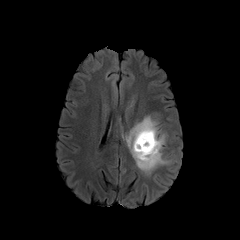
FLAIR magnetic resonance.
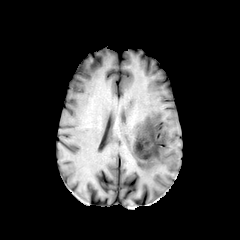
T1-weighted MR image of the same slice.
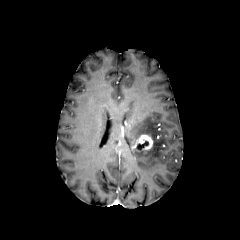
Post-contrast T1-weighted MR image of the same slice.
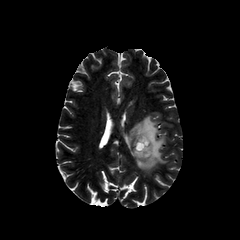
T2-weighted magnetic resonance of the same slice.
Axial view, 240x240 px
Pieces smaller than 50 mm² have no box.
{"peritumoral_edema": ["[126, 115, 169, 173]"], "necrotic_tumor_core": ["[136, 141, 148, 150]"], "enhancing_tumor": ["[130, 134, 153, 152]"]}